Brain | Axial plane | Image covers 240 mm x 240 mm | Image size 240x240
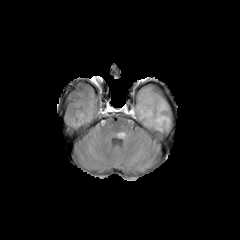
FLAIR MRI.
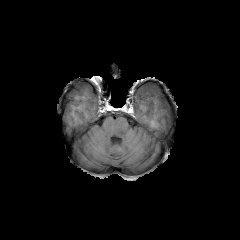
Same slice, T1-weighted MR image.
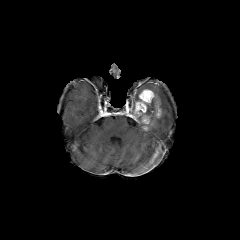
Same slice, post-contrast T1-weighted MRI.
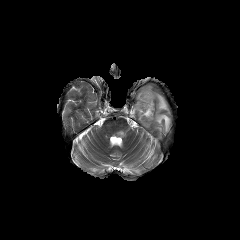
T2-weighted magnetic resonance of the same slice.
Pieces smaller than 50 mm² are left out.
The 2 largest peritumoral edema regions are located at x1=144, y1=93, x2=170, y2=131; x1=113, y1=129, x2=130, y2=139. The enhancing tumor is bounded by x1=126, y1=89, x2=161, y2=129.